Axial view; Brain
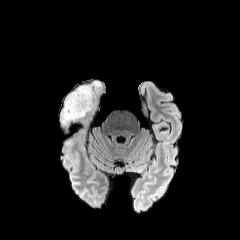
FLAIR MR.
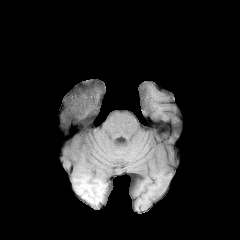
T1-weighted MR.
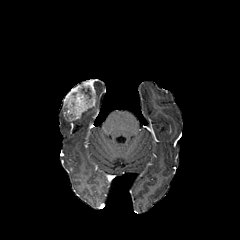
Post-contrast T1-weighted MRI.
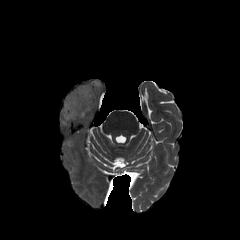
T2-weighted MRI of the same slice.
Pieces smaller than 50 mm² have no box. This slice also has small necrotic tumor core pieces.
peritumoral edema: box=[94, 81, 101, 94] | enhancing tumor: box=[64, 80, 96, 120]